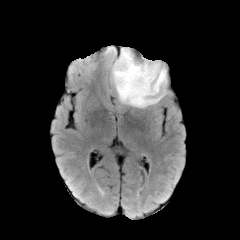
FLAIR magnetic resonance.
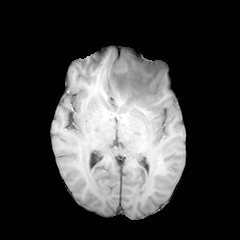
Same slice, T1-weighted MRI.
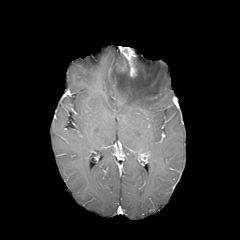
Post-contrast T1-weighted MR.
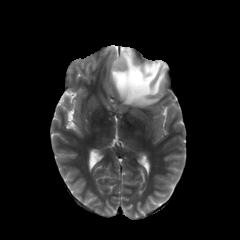
Same slice, T2-weighted MR image.
Brain
peritumoral edema: region(112, 54, 166, 107) | enhancing tumor: region(120, 47, 136, 77)